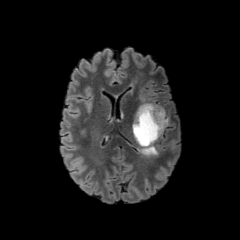
FLAIR MR.
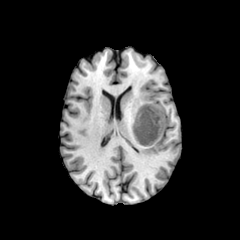
T1-weighted MR.
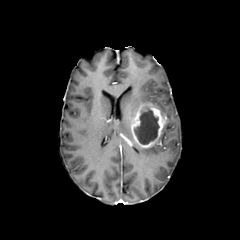
Post-contrast T1-weighted MRI.
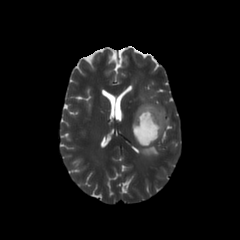
T2-weighted MR.
Head
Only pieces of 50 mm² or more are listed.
The 2 largest peritumoral edema regions appear at rect(140, 144, 158, 155); rect(131, 77, 165, 114). The necrotic tumor core appears at rect(134, 107, 159, 144). The enhancing tumor is located at rect(131, 103, 167, 147).